Image covers 240 mm x 240 mm. Slice 116 of 155. 240x240.
FLAIR MR image.
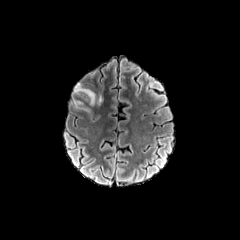
T1-weighted MR image.
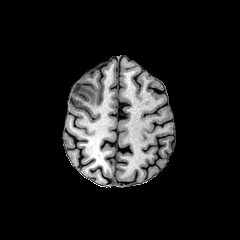
Post-contrast T1-weighted magnetic resonance.
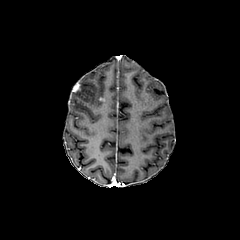
T2-weighted magnetic resonance.
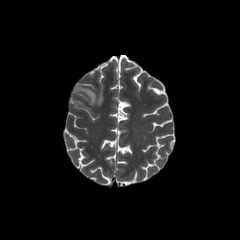
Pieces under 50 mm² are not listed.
enhancing tumor: bbox(73, 83, 80, 91) | peritumoral edema: bbox(73, 86, 95, 105)